FLAIR magnetic resonance.
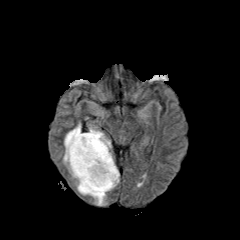
T1-weighted MR image.
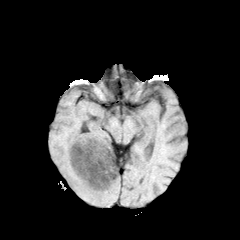
Post-contrast T1-weighted magnetic resonance.
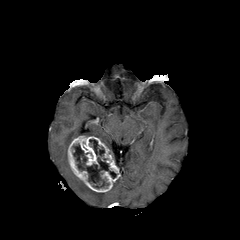
T2-weighted MR image.
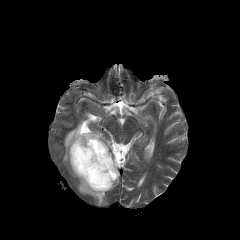
Axial slice
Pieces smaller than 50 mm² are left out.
enhancing tumor = [67,135,120,192]
peritumoral edema = [63,122,111,205]
necrotic tumor core = [73,144,116,188], [89,139,104,156]